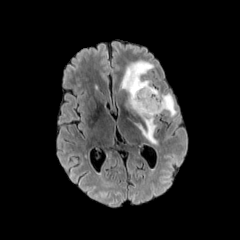
FLAIR magnetic resonance.
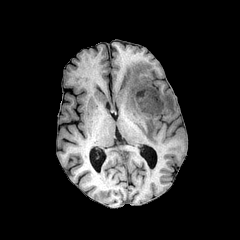
T1-weighted MRI.
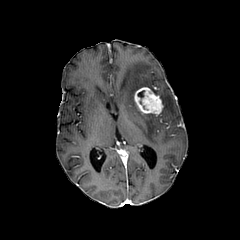
Post-contrast T1-weighted MR image.
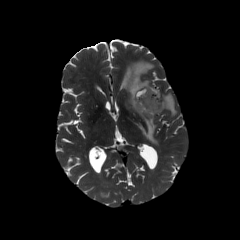
T2-weighted magnetic resonance.
Head.
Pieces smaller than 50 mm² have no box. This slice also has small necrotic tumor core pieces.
<segmentation>
  <peritumoral_edema>x1=121, y1=60, x2=159, y2=144; x1=160, y1=93, x2=176, y2=116</peritumoral_edema>
  <enhancing_tumor>x1=134, y1=87, x2=163, y2=115</enhancing_tumor>
</segmentation>